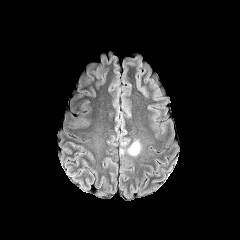
FLAIR magnetic resonance.
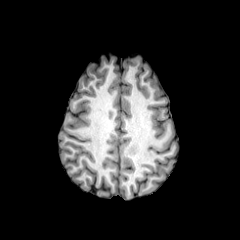
Same slice, T1-weighted MR image.
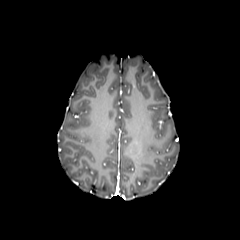
Post-contrast T1-weighted magnetic resonance of the same slice.
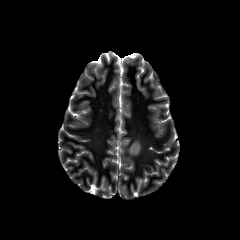
T2-weighted MR image of the same slice.
Brain; Axial view
peritumoral edema at box(120, 138, 142, 156)